Slice 63 of 155; 240x240
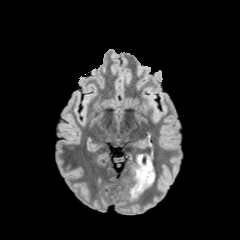
FLAIR magnetic resonance.
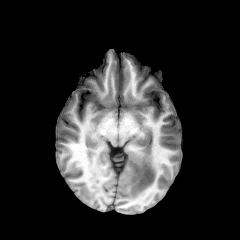
T1-weighted magnetic resonance.
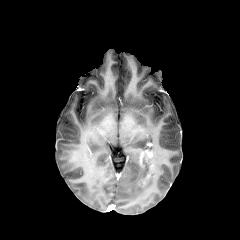
Post-contrast T1-weighted MR image.
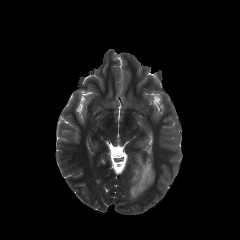
T2-weighted MR of the same slice.
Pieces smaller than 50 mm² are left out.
necrotic tumor core: bounding box 142,160,148,176
peritumoral edema: bounding box 130,154,154,198
enhancing tumor: bounding box 139,151,154,186